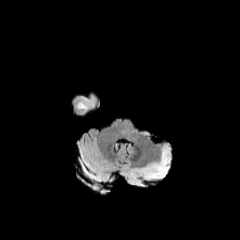
FLAIR MR image.
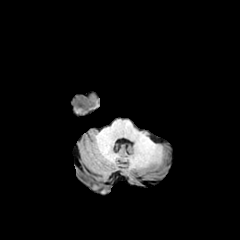
T1-weighted MR image.
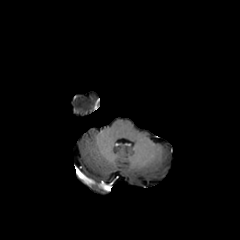
Same slice, post-contrast T1-weighted magnetic resonance.
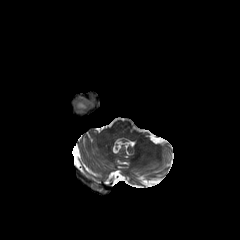
T2-weighted MR.
Head. Axial slice.
peritumoral edema: x1=77 y1=98 x2=92 y2=109